Brain; Image width 240 mm
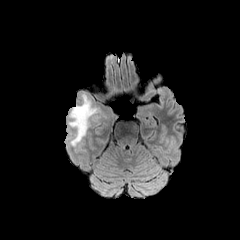
FLAIR MRI.
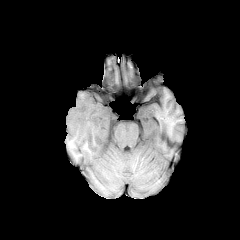
T1-weighted MR image.
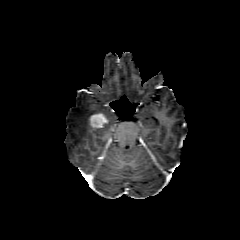
Post-contrast T1-weighted MRI of the same slice.
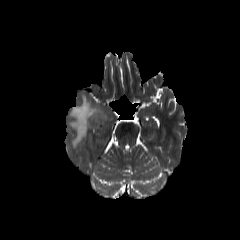
T2-weighted magnetic resonance of the same slice.
peritumoral_edema:
  - [68, 94, 103, 147]
enhancing_tumor:
  - [89, 112, 107, 128]